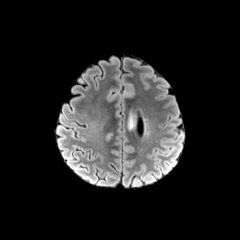
FLAIR MRI.
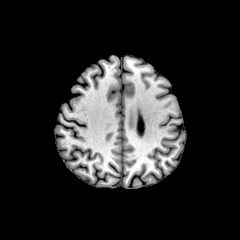
Same slice, T1-weighted MR.
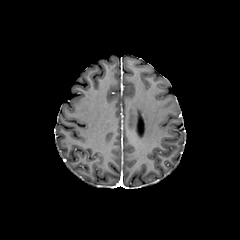
Post-contrast T1-weighted MR of the same slice.
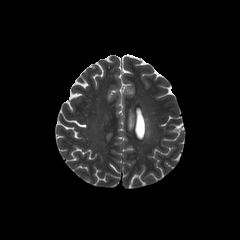
T2-weighted MR.
Brain, Axial slice, 240x240 px
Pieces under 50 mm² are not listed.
<segmentation>
  <peritumoral_edema>left=128, top=112, right=135, bottom=129</peritumoral_edema>
</segmentation>